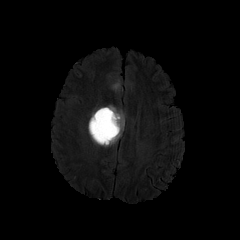
FLAIR MRI.
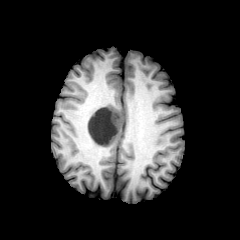
T1-weighted magnetic resonance of the same slice.
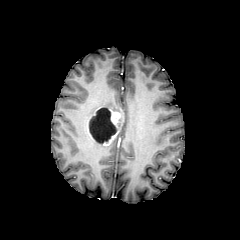
Same slice, post-contrast T1-weighted MRI.
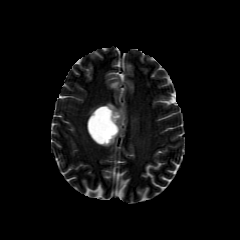
T2-weighted MR of the same slice.
Axial plane | Head | Image size 240x240
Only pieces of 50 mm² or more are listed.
peritumoral edema = 109,114,124,145; 102,104,123,113
enhancing tumor = 96,107,123,145
necrotic tumor core = 89,108,115,143